Slice 118 of 155, Axial plane, Brain
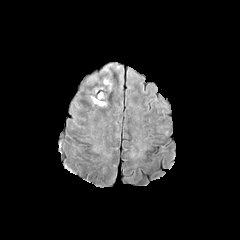
FLAIR MRI.
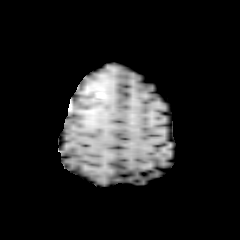
T1-weighted MR image.
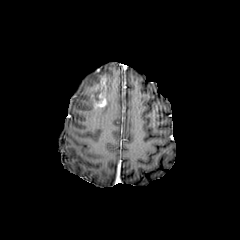
Post-contrast T1-weighted MR image of the same slice.
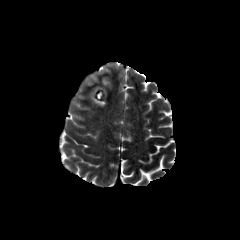
T2-weighted MRI.
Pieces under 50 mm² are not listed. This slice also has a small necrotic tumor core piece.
enhancing_tumor:
  - (left=84, top=76, right=113, bottom=106)